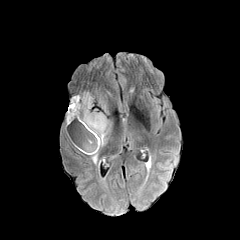
FLAIR MR image.
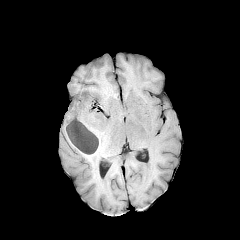
Same slice, T1-weighted MRI.
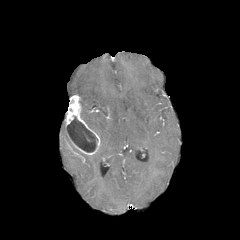
Post-contrast T1-weighted magnetic resonance.
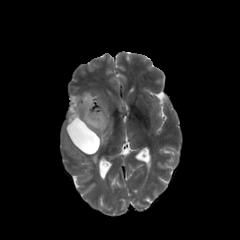
T2-weighted MR image.
240x240 px; Head
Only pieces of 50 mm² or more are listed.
peritumoral edema at (x1=91, y1=150, x2=98, y2=163), (x1=80, y1=92, x2=112, y2=149)
necrotic tumor core at (x1=67, y1=117, x2=97, y2=152)
enhancing tumor at (x1=65, y1=95, x2=100, y2=154)